FLAIR MR.
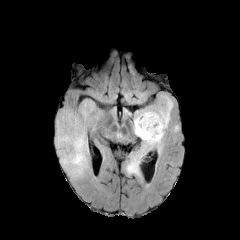
T1-weighted MR.
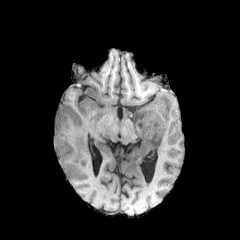
Post-contrast T1-weighted MR image.
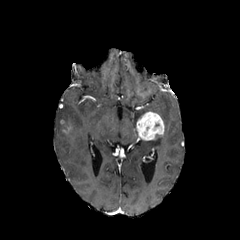
T2-weighted MRI.
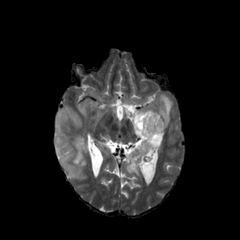
Axial view | Image size 240x240
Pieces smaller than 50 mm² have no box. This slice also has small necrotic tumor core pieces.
enhancing_tumor:
  - (62,123,72,134)
  - (135,111,164,140)
peritumoral_edema:
  - (55,104,88,178)
  - (122,136,163,181)
  - (133,94,173,135)